Image width 240 mm, 1.00 mm slice spacing, Head, Slice 70 of 155, Image size 240x240
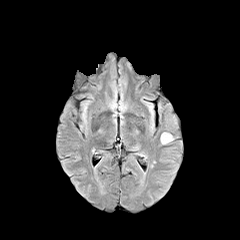
FLAIR MR.
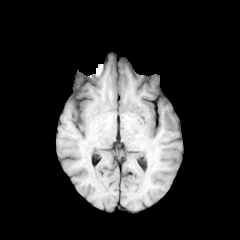
T1-weighted magnetic resonance.
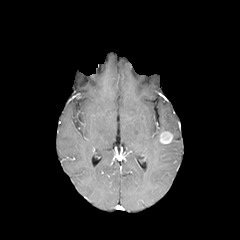
Same slice, post-contrast T1-weighted MR image.
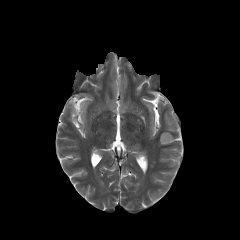
T2-weighted MRI of the same slice.
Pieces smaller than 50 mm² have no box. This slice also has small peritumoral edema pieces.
enhancing tumor: (160, 131, 172, 143)